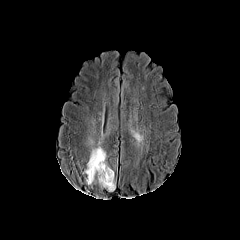
FLAIR MR image.
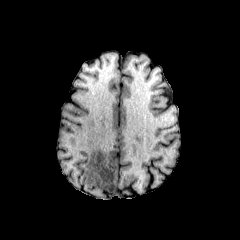
T1-weighted magnetic resonance.
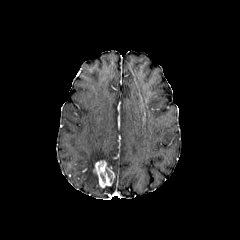
Post-contrast T1-weighted MR image.
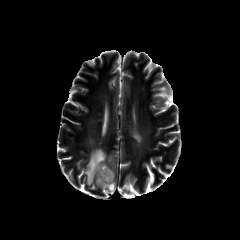
Same slice, T2-weighted magnetic resonance.
Axial view; 240x240; Head
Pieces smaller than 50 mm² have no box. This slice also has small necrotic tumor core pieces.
Annotated regions:
* peritumoral edema: l=85, t=146, r=106, b=185; l=131, t=131, r=141, b=140; l=105, t=180, r=115, b=191
* enhancing tumor: l=93, t=160, r=114, b=187